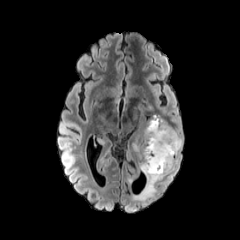
FLAIR MR.
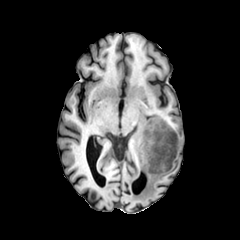
T1-weighted MR of the same slice.
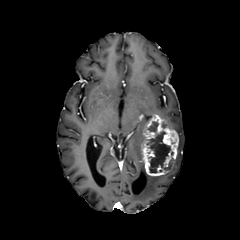
Post-contrast T1-weighted MR image.
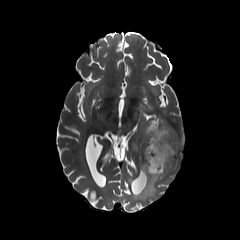
T2-weighted MR.
Head. Axial slice.
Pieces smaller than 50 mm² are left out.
The enhancing tumor appears at (141,114,178,176). The 2 largest peritumoral edema regions are bounded by (169,129,183,171), (132,142,164,200). The largest necrotic tumor core region is at (146,121,170,172).